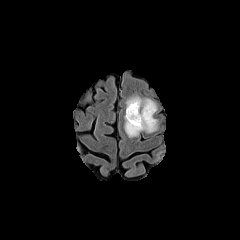
FLAIR MRI.
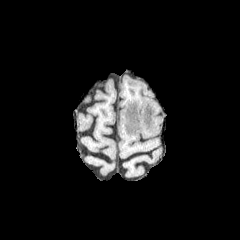
Same slice, T1-weighted MR image.
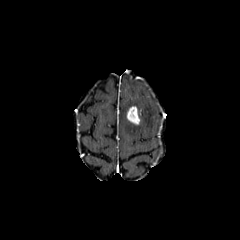
Post-contrast T1-weighted MR.
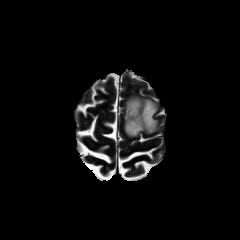
T2-weighted MRI.
Axial plane | Brain
enhancing tumor = (x1=126, y1=106, x2=140, y2=124)
peritumoral edema = (x1=124, y1=96, x2=157, y2=137)